FLAIR magnetic resonance.
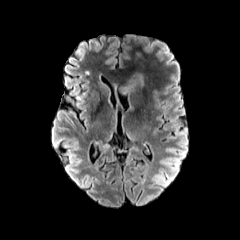
T1-weighted MR image.
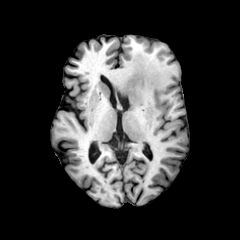
Post-contrast T1-weighted magnetic resonance.
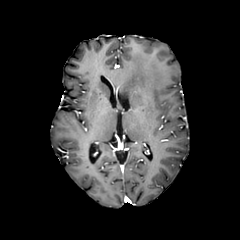
T2-weighted MR image.
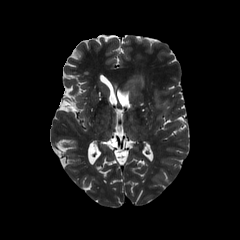
240x240 px; Brain
peritumoral edema: (119,71,143,93)